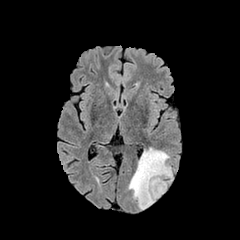
FLAIR magnetic resonance.
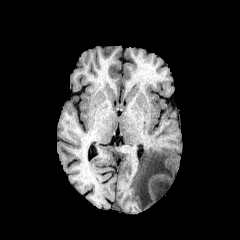
T1-weighted MR image of the same slice.
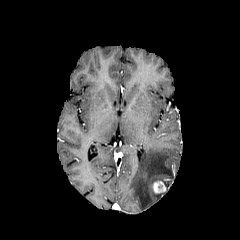
Same slice, post-contrast T1-weighted magnetic resonance.
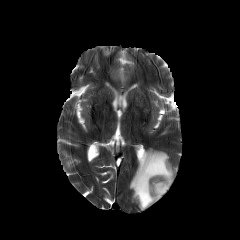
T2-weighted MRI of the same slice.
Axial slice. Image size 240x240.
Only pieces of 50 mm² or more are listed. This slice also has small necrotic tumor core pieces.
The peritumoral edema is bounded by <bbox>128, 148, 172, 209</bbox>. The enhancing tumor is located at <bbox>152, 180, 166, 193</bbox>.